FLAIR MR.
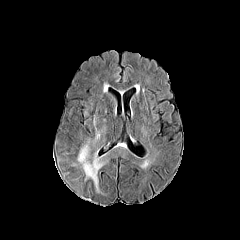
T1-weighted MR.
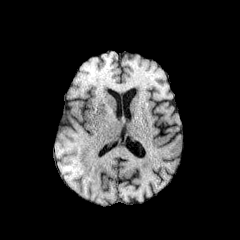
Post-contrast T1-weighted MR image.
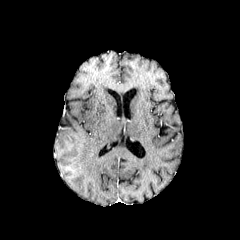
T2-weighted MRI.
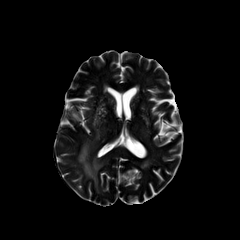
Brain
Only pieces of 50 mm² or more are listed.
peritumoral edema: bounding box region(78, 142, 103, 191)